Brain
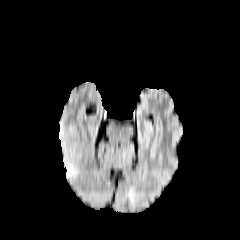
FLAIR MR image.
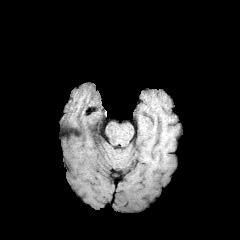
T1-weighted MR.
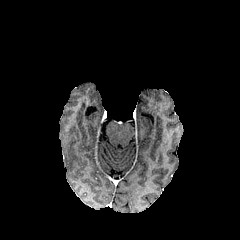
Same slice, post-contrast T1-weighted magnetic resonance.
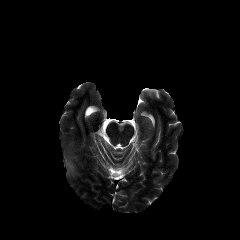
T2-weighted magnetic resonance.
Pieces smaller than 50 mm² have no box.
{
  "peritumoral_edema": [
    "(64, 155, 76, 176)"
  ]
}